FLAIR magnetic resonance.
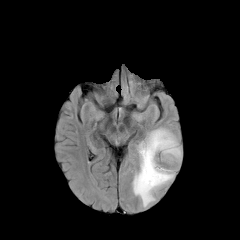
T1-weighted magnetic resonance.
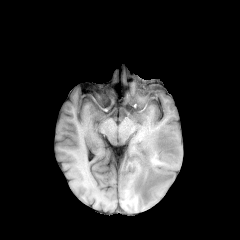
Post-contrast T1-weighted MR.
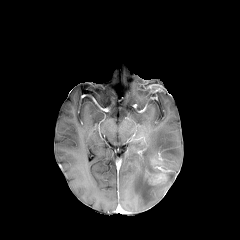
T2-weighted MR.
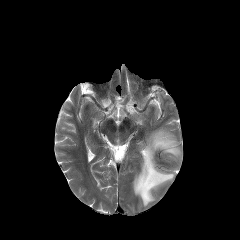
240x240 px | Axial plane
enhancing_tumor:
  - 146:171:168:184
peritumoral_edema:
  - 133:128:182:207